FLAIR MRI.
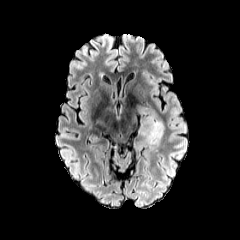
T1-weighted MR.
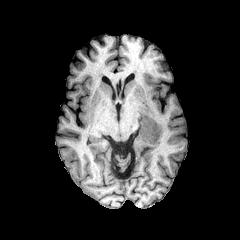
Post-contrast T1-weighted MRI.
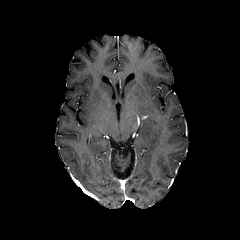
T2-weighted magnetic resonance.
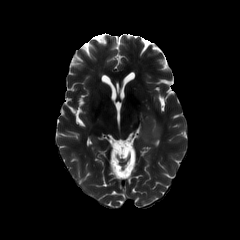
Axial plane
Segmented structures:
* peritumoral edema: bbox(137, 107, 163, 145)